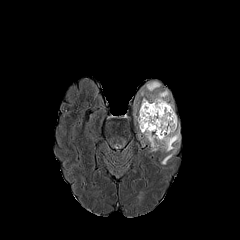
FLAIR MR.
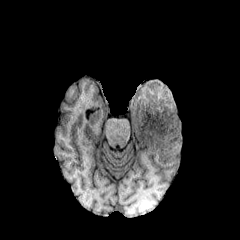
T1-weighted MR image of the same slice.
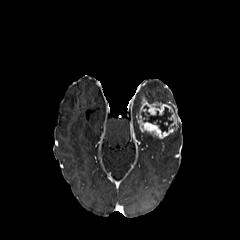
Post-contrast T1-weighted magnetic resonance of the same slice.
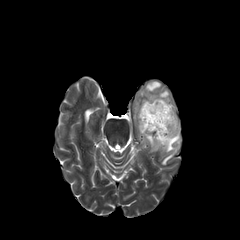
Same slice, T2-weighted MR.
Head; Axial view
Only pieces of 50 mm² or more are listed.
peritumoral edema: l=134, t=81, r=180, b=164 | enhancing tumor: l=137, t=98, r=177, b=139 | necrotic tumor core: l=141, t=105, r=173, b=132